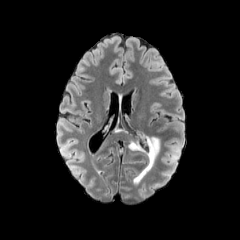
FLAIR magnetic resonance.
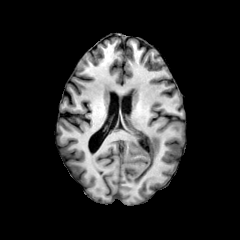
T1-weighted MR.
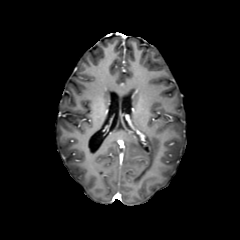
Same slice, post-contrast T1-weighted MRI.
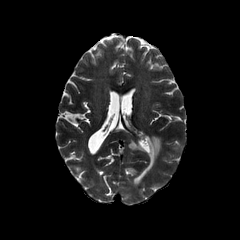
T2-weighted magnetic resonance of the same slice.
240x240; Head; Axial plane
peritumoral edema: <bbox>127, 135, 160, 184</bbox>